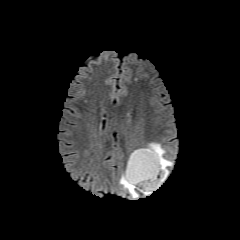
FLAIR MR.
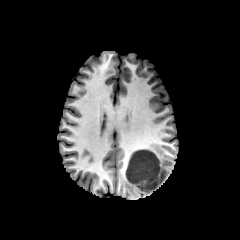
Same slice, T1-weighted MR.
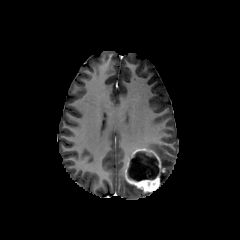
Post-contrast T1-weighted MRI.
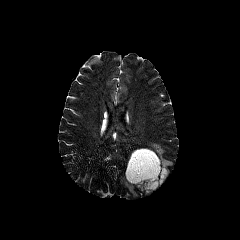
Same slice, T2-weighted magnetic resonance.
Head
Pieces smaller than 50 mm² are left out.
enhancing tumor: x1=125, y1=148, x2=165, y2=192 | peritumoral edema: x1=146, y1=143, x2=172, y2=183; x1=120, y1=173, x2=138, y2=198 | necrotic tumor core: x1=127, y1=152, x2=159, y2=181